Slice 63 of 155, Axial view, Brain
FLAIR MR.
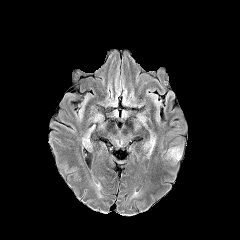
T1-weighted magnetic resonance.
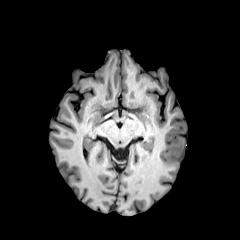
Post-contrast T1-weighted magnetic resonance.
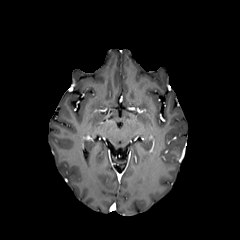
T2-weighted MR.
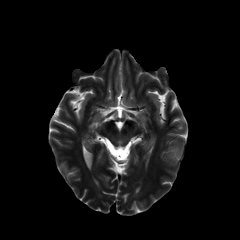
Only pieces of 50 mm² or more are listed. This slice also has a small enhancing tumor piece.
peritumoral edema = 170:148:180:159